FLAIR MR image.
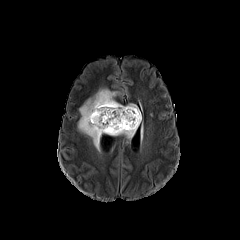
T1-weighted MR image.
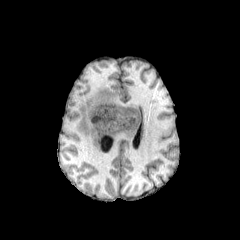
Post-contrast T1-weighted MR image.
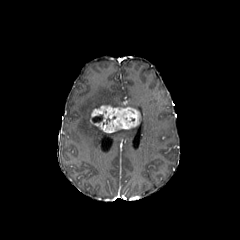
T2-weighted MR.
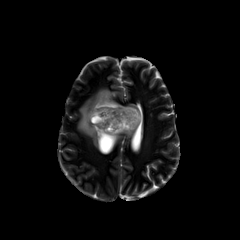
Brain
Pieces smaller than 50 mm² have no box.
The largest necrotic tumor core region is bounded by (92,115,103,122). The enhancing tumor lies within (90,105,140,133). The 2 largest peritumoral edema regions are located at (78,88,139,150), (108,126,137,138).